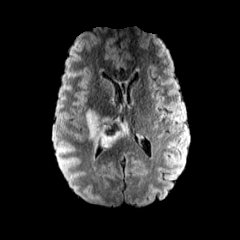
FLAIR MRI.
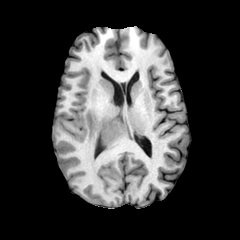
T1-weighted MR of the same slice.
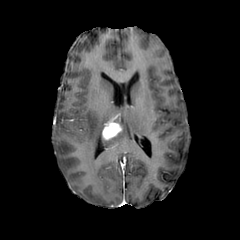
Same slice, post-contrast T1-weighted magnetic resonance.
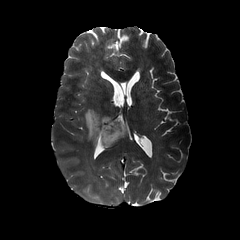
T2-weighted MR image.
Brain. Axial plane.
enhancing tumor: (101,118,122,141)
peritumoral edema: (85,108,128,157)